Image width 240 mm, 1.00 mm slice spacing | Brain
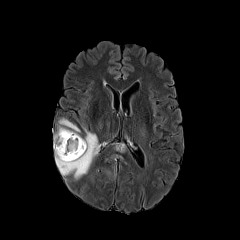
FLAIR MRI.
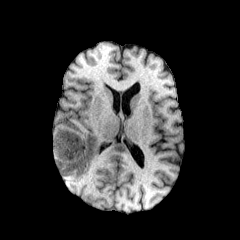
Same slice, T1-weighted MR.
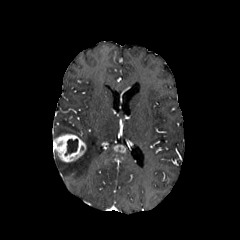
Post-contrast T1-weighted MR image.
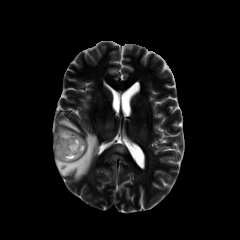
T2-weighted MR image.
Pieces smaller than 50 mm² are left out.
Findings:
- necrotic tumor core: (65,139,78,155)
- peritumoral edema: (54,118,99,180)
- enhancing tumor: (53,133,86,162), (114,145,125,151)